FLAIR magnetic resonance.
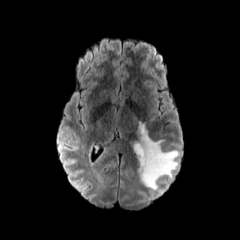
T1-weighted MRI.
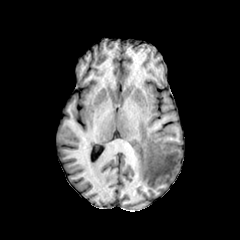
Post-contrast T1-weighted magnetic resonance.
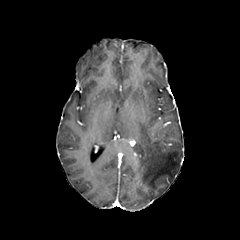
T2-weighted magnetic resonance.
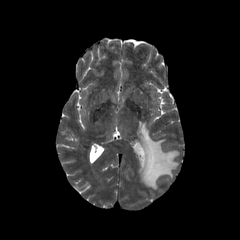
Axial plane
The peritumoral edema is located at [x1=131, y1=122, x2=179, y2=190].